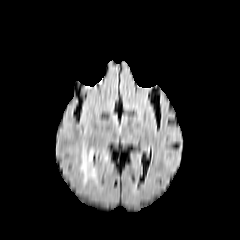
FLAIR magnetic resonance.
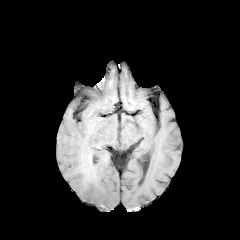
T1-weighted MRI of the same slice.
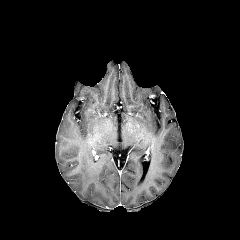
Post-contrast T1-weighted MRI.
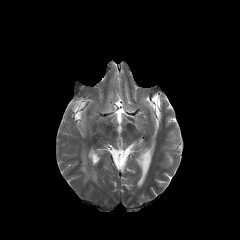
T2-weighted MR.
Head
peritumoral edema = box(81, 150, 104, 182)